FLAIR MRI.
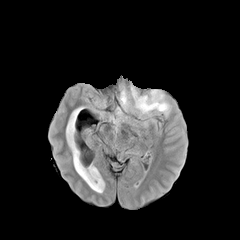
T1-weighted MR.
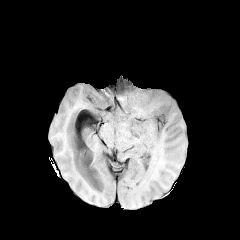
Post-contrast T1-weighted MR image.
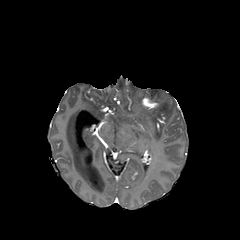
T2-weighted MR.
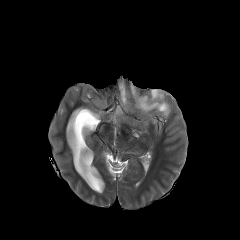
Axial slice.
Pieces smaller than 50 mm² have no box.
The enhancing tumor is located at (left=142, top=97, right=157, bottom=109). The 2 largest peritumoral edema regions are located at (left=131, top=87, right=170, bottom=115), (left=121, top=90, right=127, bottom=107).